Slice 99 of 155, Axial plane, Brain
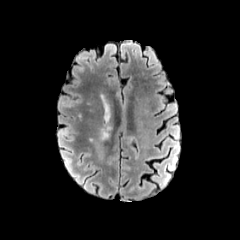
FLAIR magnetic resonance.
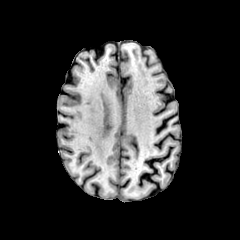
T1-weighted MR image.
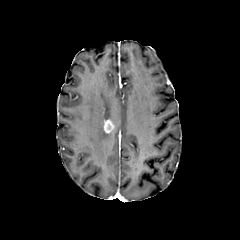
Post-contrast T1-weighted MR image.
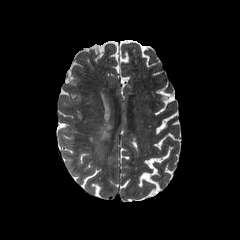
Same slice, T2-weighted MRI.
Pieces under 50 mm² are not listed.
- enhancing tumor: (x1=104, y1=120, x2=114, y2=133)
- peritumoral edema: (x1=105, y1=103, x2=109, y2=120), (x1=100, y1=128, x2=108, y2=139)